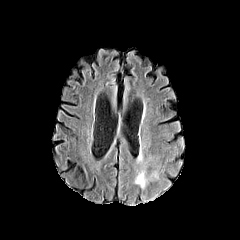
FLAIR MR image.
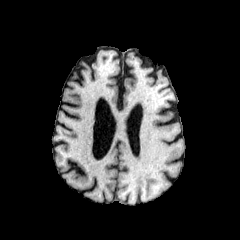
T1-weighted MR.
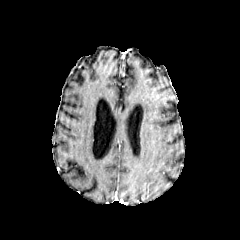
Same slice, post-contrast T1-weighted MRI.
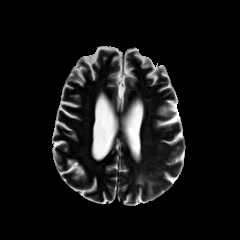
Same slice, T2-weighted MR.
Head. Axial view.
peritumoral edema = bbox=[136, 173, 144, 186]